Axial view | Brain | 240x240 px
FLAIR MR.
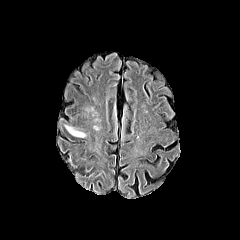
T1-weighted MR image.
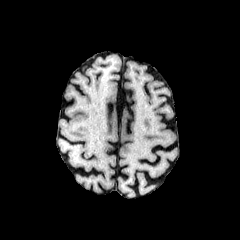
Post-contrast T1-weighted MRI.
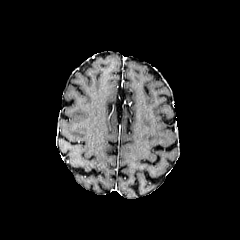
T2-weighted magnetic resonance.
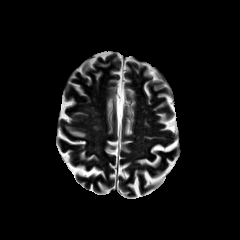
Segmented structures:
- peritumoral edema: left=66, top=126, right=85, bottom=137